FLAIR MR image.
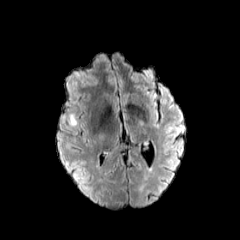
T1-weighted magnetic resonance.
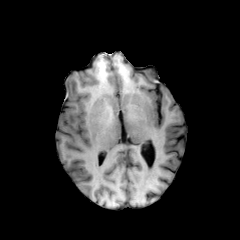
Post-contrast T1-weighted MR image.
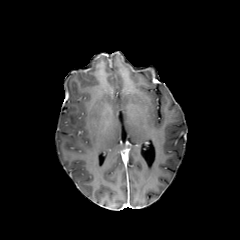
T2-weighted MR.
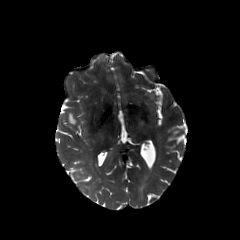
Axial view
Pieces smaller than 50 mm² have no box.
The largest peritumoral edema region lies within x1=70 y1=115 x2=76 y2=125.